FLAIR MR.
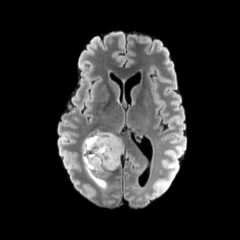
T1-weighted MR.
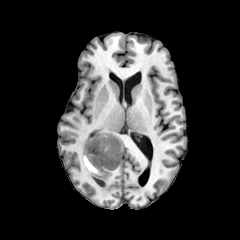
Post-contrast T1-weighted MRI.
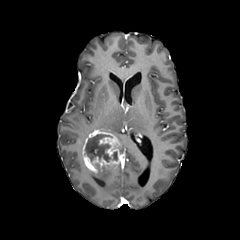
T2-weighted MRI.
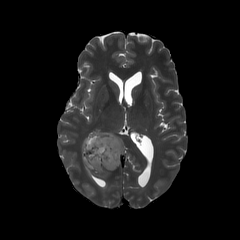
240x240.
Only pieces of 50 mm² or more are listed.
peritumoral edema = <box>95,129,124,153</box>, <box>85,166,113,187</box>
necrotic tumor core = <box>85,134,111,161</box>
enhancing tumor = <box>82,130,121,172</box>